FLAIR magnetic resonance.
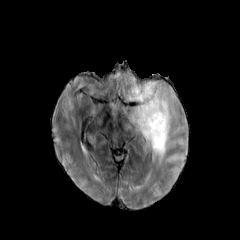
T1-weighted MR.
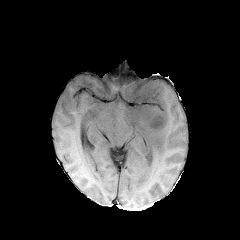
Post-contrast T1-weighted MR.
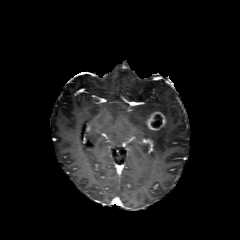
T2-weighted magnetic resonance.
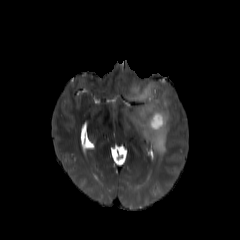
The peritumoral edema appears at [124, 80, 171, 158]. The necrotic tumor core is bounded by [151, 114, 162, 127]. The enhancing tumor appears at [145, 111, 166, 131].